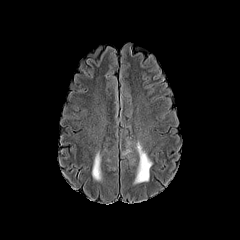
FLAIR MR.
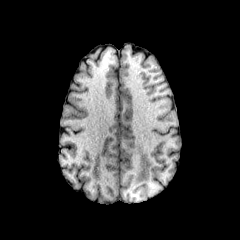
T1-weighted MR.
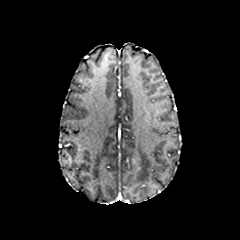
Post-contrast T1-weighted MRI.
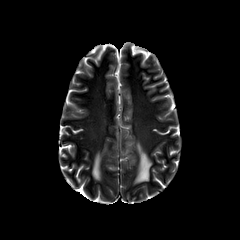
T2-weighted MR.
240x240, Head
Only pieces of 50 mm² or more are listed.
peritumoral edema: [x1=122, y1=142, x2=132, y2=156], [x1=92, y1=152, x2=101, y2=181], [x1=134, y1=141, x2=152, y2=183]